FLAIR MR image.
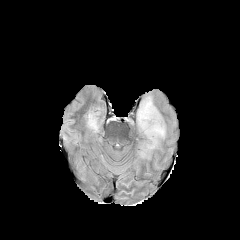
T1-weighted MRI.
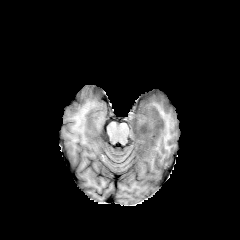
Post-contrast T1-weighted MR image.
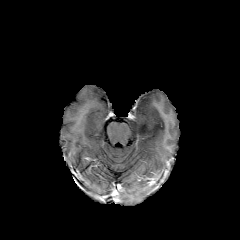
T2-weighted magnetic resonance.
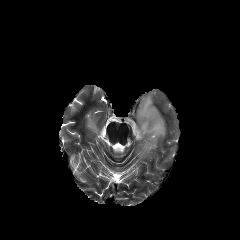
Axial view
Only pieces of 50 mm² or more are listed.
{
  "peritumoral_edema": [
    "x1=87 y1=116 x2=98 y2=132",
    "x1=136 y1=96 x2=165 y2=159"
  ]
}